FLAIR MR image.
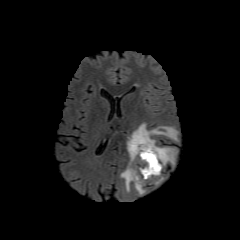
T1-weighted MR image.
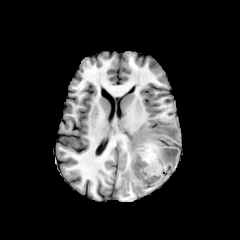
Post-contrast T1-weighted MR.
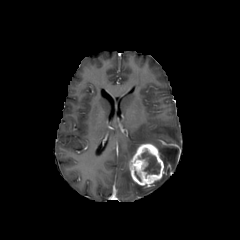
T2-weighted magnetic resonance.
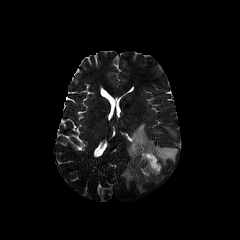
240x240 px.
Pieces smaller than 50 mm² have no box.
<segmentation>
  <necrotic_tumor_core>box(139, 149, 160, 174)</necrotic_tumor_core>
  <enhancing_tumor>box(129, 143, 163, 185)</enhancing_tumor>
  <peritumoral_edema>box(134, 182, 145, 194); box(120, 164, 133, 191); box(127, 123, 177, 166)</peritumoral_edema>
</segmentation>